Slice 54 of 155
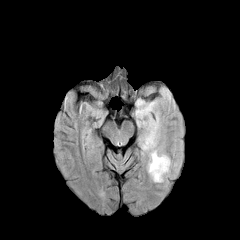
FLAIR MRI.
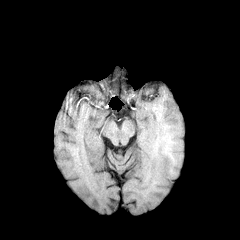
Same slice, T1-weighted magnetic resonance.
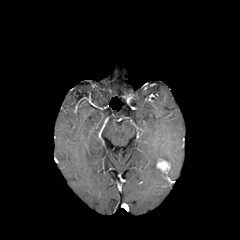
Same slice, post-contrast T1-weighted MR image.
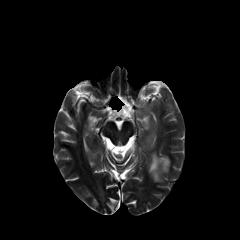
T2-weighted MR image.
enhancing tumor = x1=156 y1=159 x2=169 y2=172
peritumoral edema = x1=148 y1=150 x2=170 y2=182, x1=158 y1=89 x2=170 y2=94, x1=135 y1=98 x2=163 y2=150